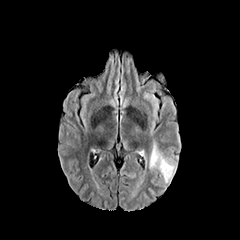
FLAIR MRI.
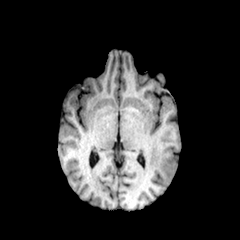
T1-weighted MR image of the same slice.
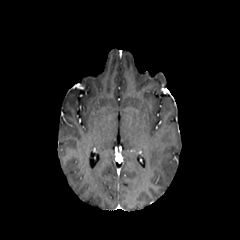
Post-contrast T1-weighted magnetic resonance.
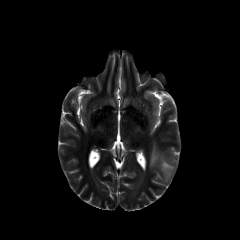
T2-weighted magnetic resonance.
Axial view. Brain. 240x240.
peritumoral_edema:
  - (149, 142, 176, 182)